FLAIR magnetic resonance.
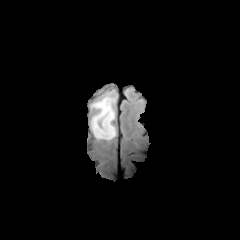
T1-weighted MR image.
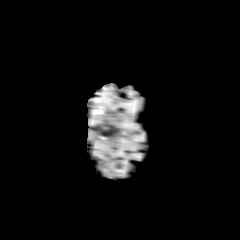
Post-contrast T1-weighted MRI.
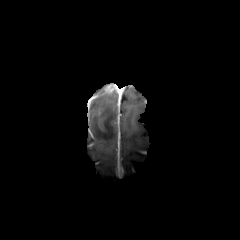
T2-weighted MRI.
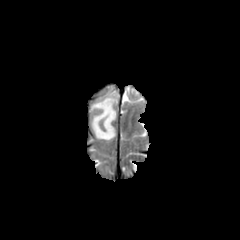
Brain. 240x240 px.
{"peritumoral_edema": ["region(90, 91, 116, 141)"]}